Brain | Axial slice
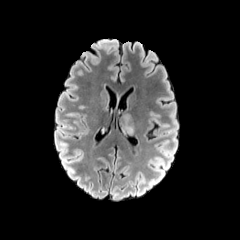
FLAIR MRI.
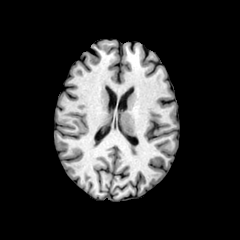
T1-weighted magnetic resonance of the same slice.
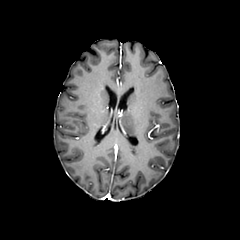
Same slice, post-contrast T1-weighted MR.
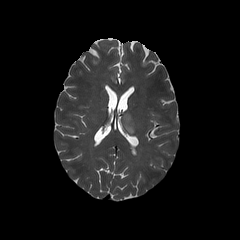
Same slice, T2-weighted magnetic resonance.
peritumoral edema: bounding box <bbox>120, 112, 134, 135</bbox>